FLAIR MR image.
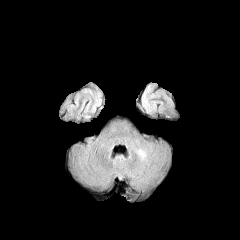
T1-weighted magnetic resonance.
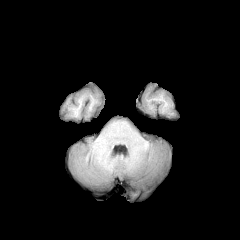
Post-contrast T1-weighted MR image.
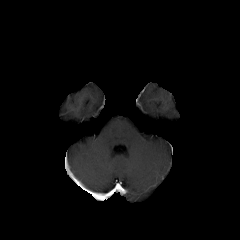
T2-weighted MR.
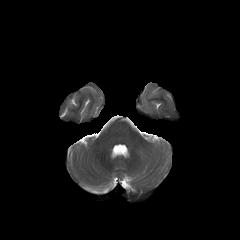
peritumoral edema — 141:85:153:112